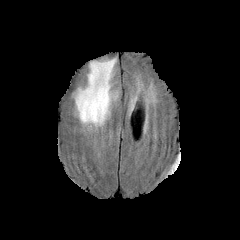
FLAIR MRI.
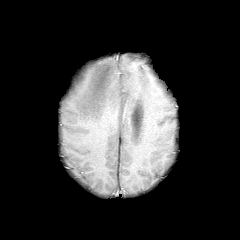
Same slice, T1-weighted MR image.
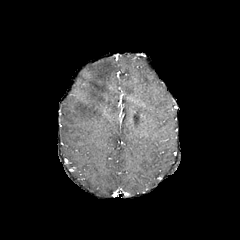
Post-contrast T1-weighted MR.
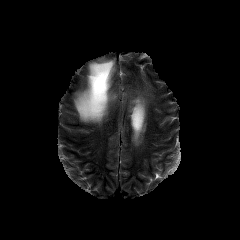
Same slice, T2-weighted MRI.
Head
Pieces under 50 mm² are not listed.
peritumoral edema — (left=74, top=59, right=117, bottom=126)